Slice 89/155, 240x240, Brain
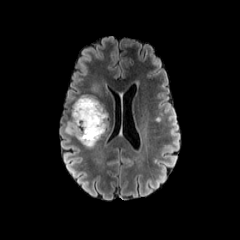
FLAIR magnetic resonance.
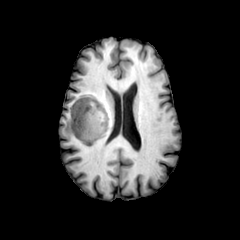
T1-weighted magnetic resonance of the same slice.
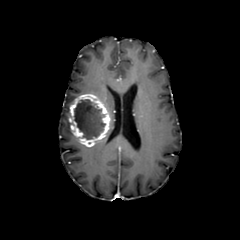
Post-contrast T1-weighted magnetic resonance.
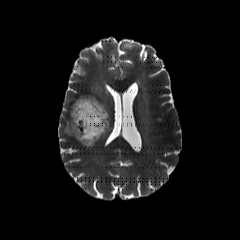
Same slice, T2-weighted MR.
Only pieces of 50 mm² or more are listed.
{"necrotic_tumor_core": ["rect(74, 99, 105, 139)"], "peritumoral_edema": ["rect(90, 83, 102, 94)", "rect(64, 119, 73, 135)"], "enhancing_tumor": ["rect(69, 94, 109, 146)"]}